FLAIR MR image.
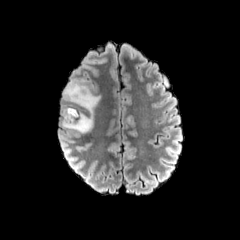
T1-weighted MR.
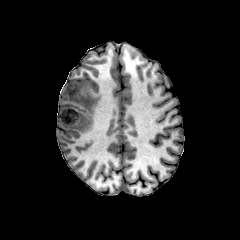
Post-contrast T1-weighted magnetic resonance.
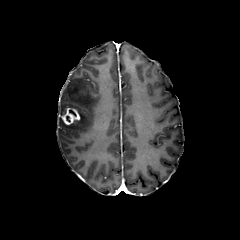
T2-weighted MR.
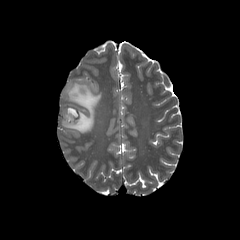
Head.
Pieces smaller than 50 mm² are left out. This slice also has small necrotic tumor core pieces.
{
  "peritumoral_edema": [
    "left=60, top=78, right=100, bottom=133"
  ],
  "enhancing_tumor": [
    "left=62, top=107, right=80, bottom=125"
  ]
}